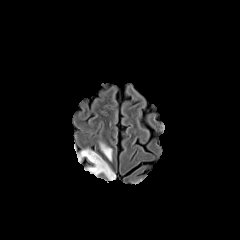
FLAIR MR image.
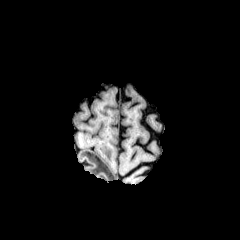
T1-weighted magnetic resonance.
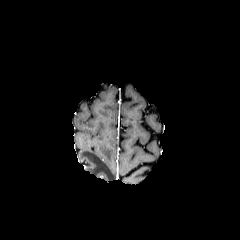
Post-contrast T1-weighted MRI.
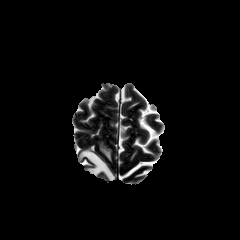
T2-weighted MR image.
Head; 240x240
Annotated regions:
* peritumoral edema: (78,149,115,180), (100,143,111,160)